Head
FLAIR MR image.
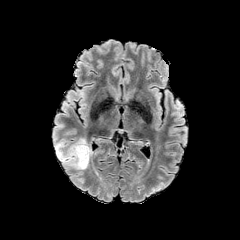
T1-weighted MRI.
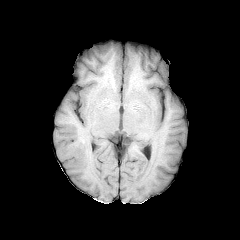
Post-contrast T1-weighted MR.
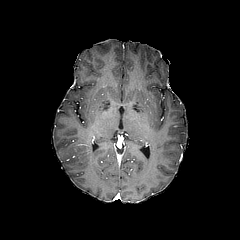
T2-weighted MR.
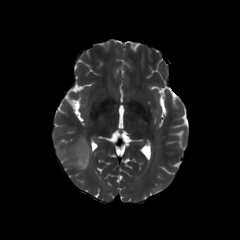
peritumoral edema — (x1=57, y1=138, x2=91, y2=169)